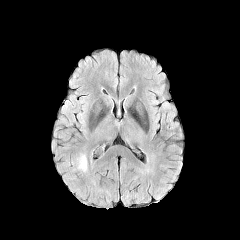
FLAIR MR.
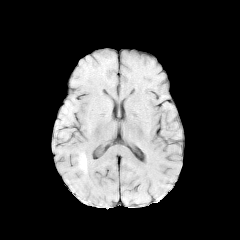
T1-weighted MRI.
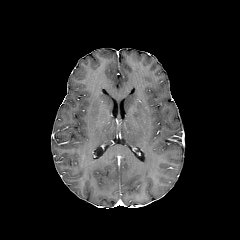
Post-contrast T1-weighted magnetic resonance of the same slice.
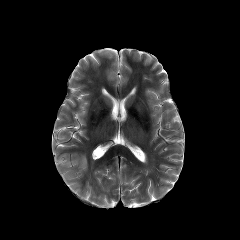
T2-weighted MR image.
Axial plane | Head
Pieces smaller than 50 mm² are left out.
The largest peritumoral edema region lies within 72 154 87 172.